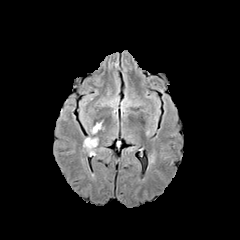
FLAIR MR.
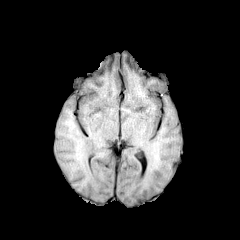
T1-weighted magnetic resonance.
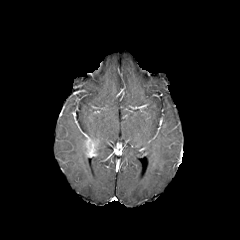
Same slice, post-contrast T1-weighted MR image.
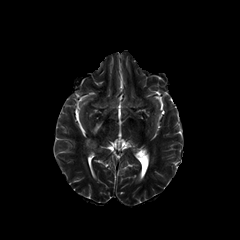
T2-weighted magnetic resonance.
Brain
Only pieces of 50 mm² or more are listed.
The enhancing tumor is bounded by box=[85, 138, 97, 155]. The largest peritumoral edema region lies within box=[92, 122, 101, 133].